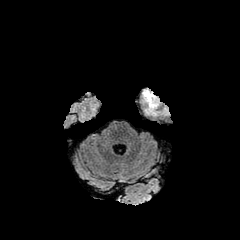
FLAIR MR.
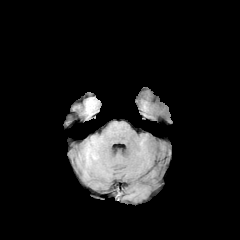
T1-weighted magnetic resonance.
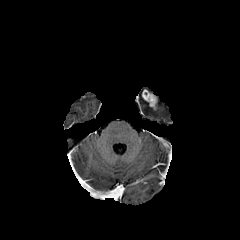
Post-contrast T1-weighted magnetic resonance.
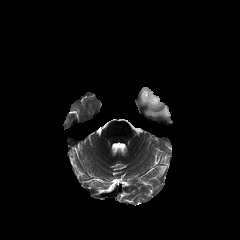
T2-weighted MR image.
Axial slice. Brain. 240x240.
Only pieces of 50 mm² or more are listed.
• enhancing tumor: bbox=[142, 89, 157, 109]
• peritumoral edema: bbox=[140, 94, 170, 117]